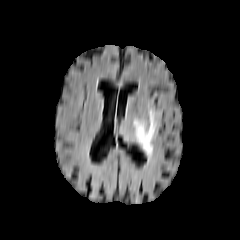
FLAIR MRI.
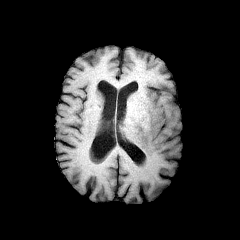
T1-weighted MR image.
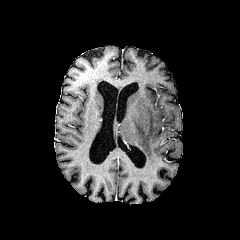
Post-contrast T1-weighted MR.
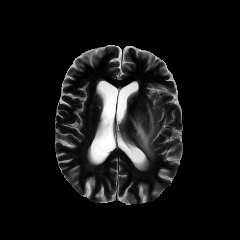
T2-weighted magnetic resonance.
peritumoral_edema:
  - box(133, 107, 158, 157)